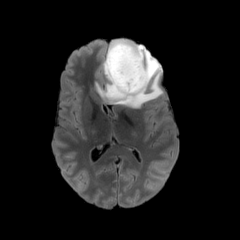
FLAIR MRI.
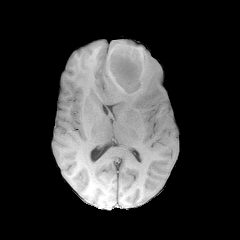
T1-weighted MRI of the same slice.
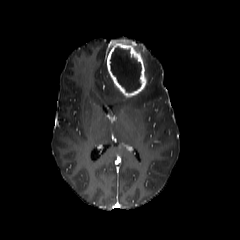
Post-contrast T1-weighted MR image of the same slice.
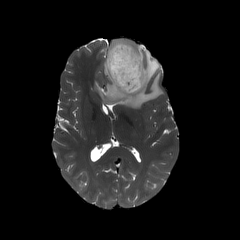
T2-weighted MR image.
Brain, Axial plane
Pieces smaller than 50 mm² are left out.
enhancing tumor: 106:39:147:97 | peritumoral edema: 95:45:163:108 | necrotic tumor core: 110:46:141:92